Image size 240x240. Image width 240 mm. Axial view.
FLAIR magnetic resonance.
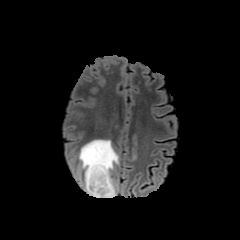
T1-weighted MRI.
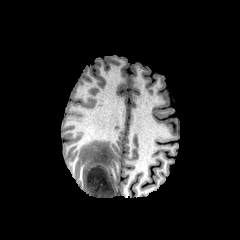
Post-contrast T1-weighted MR.
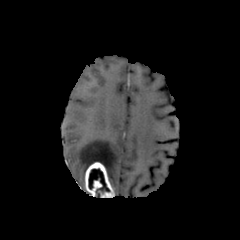
T2-weighted MR image.
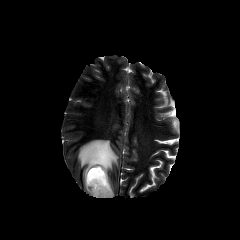
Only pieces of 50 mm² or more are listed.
The necrotic tumor core is bounded by box(88, 169, 109, 196). The enhancing tumor lies within box(85, 162, 114, 197). The largest peritumoral edema region is at box(78, 139, 119, 195).